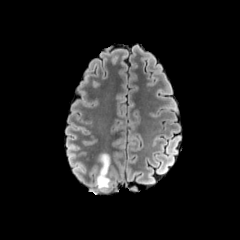
FLAIR MRI.
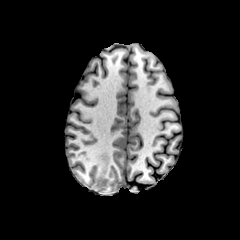
T1-weighted MRI of the same slice.
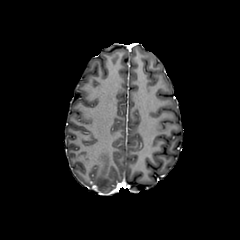
Same slice, post-contrast T1-weighted MR image.
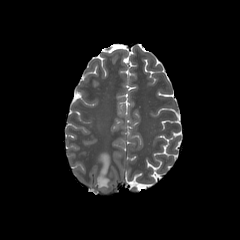
Same slice, T2-weighted magnetic resonance.
Axial plane. 240x240 px.
peritumoral edema: box=[94, 152, 112, 189]